FLAIR MR image.
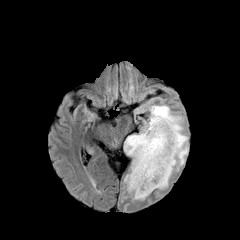
T1-weighted MRI.
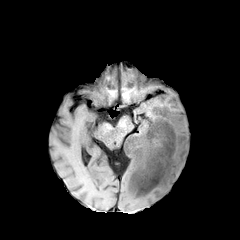
Post-contrast T1-weighted MRI.
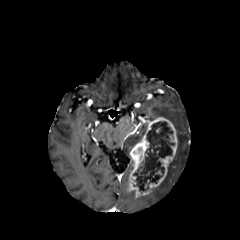
T2-weighted MRI.
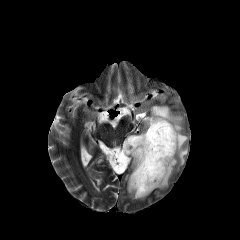
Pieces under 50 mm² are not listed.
The 3 largest peritumoral edema regions are bounded by box(129, 192, 149, 200); box(124, 122, 146, 155); box(149, 105, 188, 189). The largest enhancing tumor region is at box(127, 117, 178, 198). The necrotic tumor core is at box(133, 121, 174, 191).